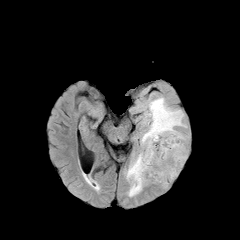
FLAIR MR.
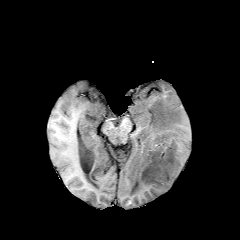
Same slice, T1-weighted MR image.
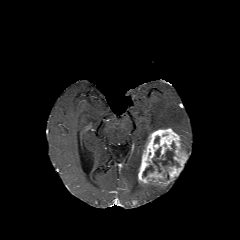
Post-contrast T1-weighted MRI.
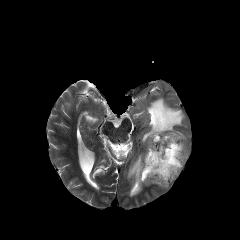
T2-weighted MRI.
240x240 px
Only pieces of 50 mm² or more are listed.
peritumoral edema = (125, 151, 144, 196), (141, 97, 188, 150)
necrotic tumor core = (152, 147, 178, 172), (143, 165, 153, 176)
enhancing tumor = (138, 128, 187, 187)